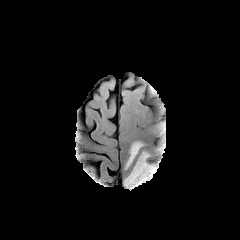
FLAIR magnetic resonance.
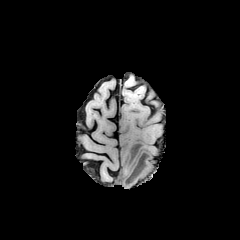
T1-weighted MR.
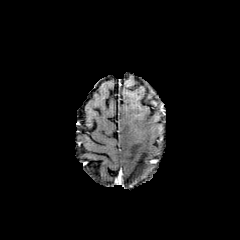
Same slice, post-contrast T1-weighted MR.
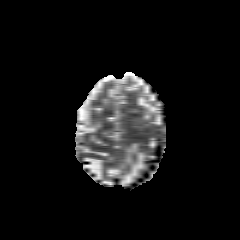
T2-weighted MR image of the same slice.
Image size 240x240; Brain
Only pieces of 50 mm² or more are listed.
The largest peritumoral edema region appears at 123,142,151,186.